FLAIR MRI.
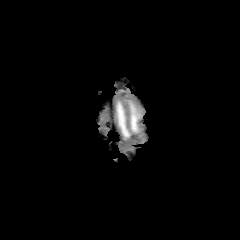
T1-weighted magnetic resonance.
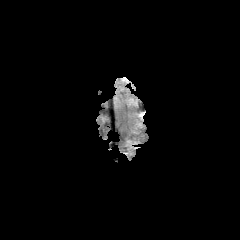
Post-contrast T1-weighted MR.
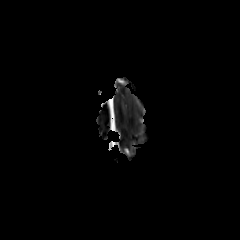
T2-weighted MRI.
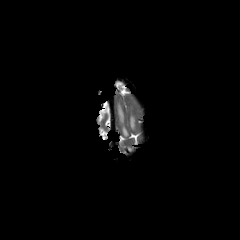
Findings:
* peritumoral edema: x1=130, y1=102, x2=138, y2=131; x1=117, y1=102, x2=129, y2=136